Head; Axial view
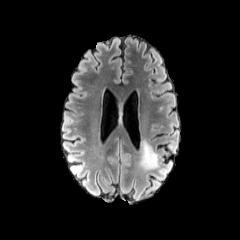
FLAIR MR.
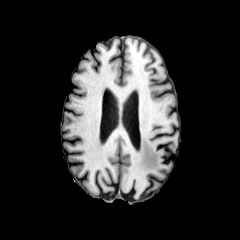
T1-weighted magnetic resonance.
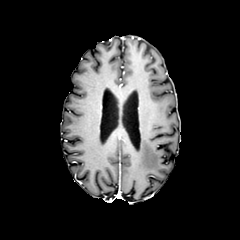
Same slice, post-contrast T1-weighted MRI.
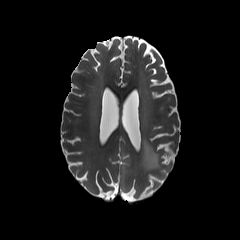
Same slice, T2-weighted MR image.
peritumoral edema: bounding box (138, 141, 158, 171)